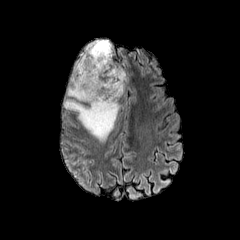
FLAIR MR.
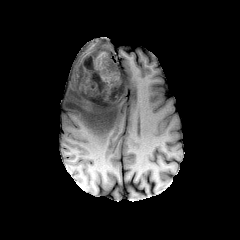
T1-weighted magnetic resonance.
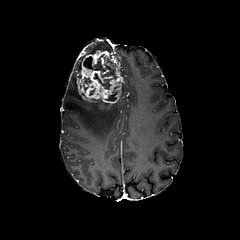
Post-contrast T1-weighted MR image.
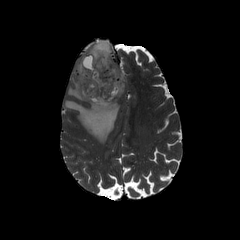
Same slice, T2-weighted magnetic resonance.
Brain.
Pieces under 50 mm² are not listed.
enhancing_tumor:
  - box=[76, 50, 124, 107]
peritumoral_edema:
  - box=[121, 68, 126, 95]
  - box=[63, 39, 120, 142]
necrotic_tumor_core:
  - box=[105, 91, 117, 101]
  - box=[83, 54, 117, 89]